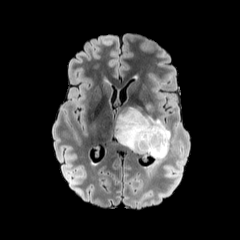
FLAIR MR image.
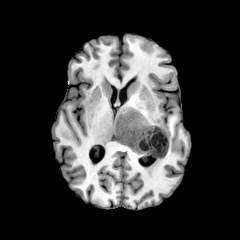
Same slice, T1-weighted MR.
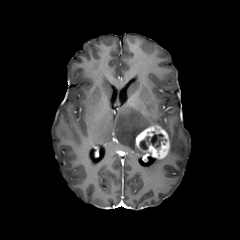
Post-contrast T1-weighted MR of the same slice.
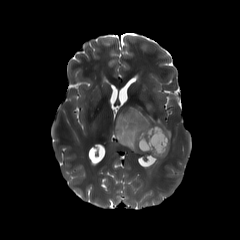
T2-weighted MR of the same slice.
Head
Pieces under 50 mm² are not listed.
necrotic tumor core at <box>139,133,163,149</box>
peritumoral edema at <box>115,107,171,154</box>
enhancing tumor at <box>135,125,169,158</box>